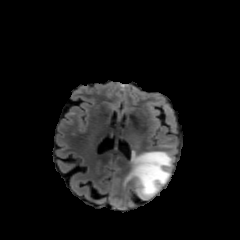
FLAIR MR image.
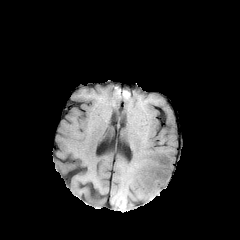
T1-weighted MRI.
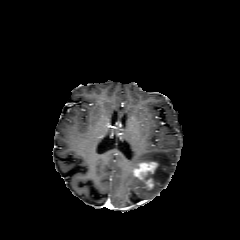
Post-contrast T1-weighted magnetic resonance of the same slice.
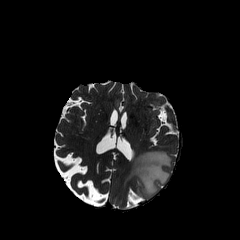
T2-weighted magnetic resonance.
Head
peritumoral edema at l=124, t=151, r=173, b=199
enhancing tumor at l=145, t=178, r=153, b=188; l=133, t=162, r=157, b=179